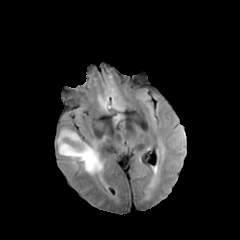
FLAIR magnetic resonance.
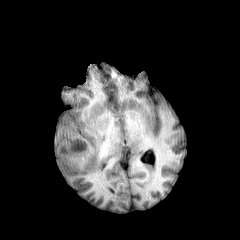
T1-weighted MR of the same slice.
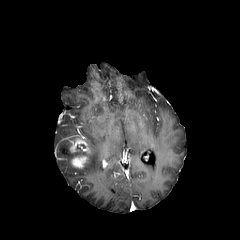
Post-contrast T1-weighted magnetic resonance.
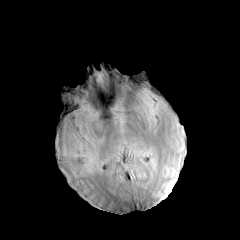
Same slice, T2-weighted MR.
Brain.
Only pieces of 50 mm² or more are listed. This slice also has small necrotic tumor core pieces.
2 peritumoral edema regions are located at 58, 130, 77, 159; 83, 140, 102, 174. 2 enhancing tumor regions appear at 71, 155, 87, 168; 65, 135, 90, 153.